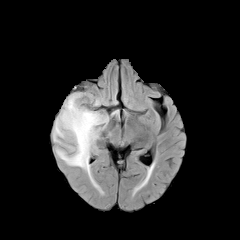
FLAIR magnetic resonance.
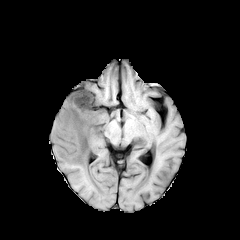
T1-weighted MR image.
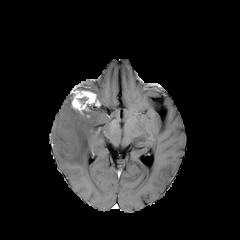
Post-contrast T1-weighted magnetic resonance.
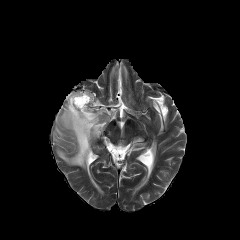
T2-weighted MR image.
Brain
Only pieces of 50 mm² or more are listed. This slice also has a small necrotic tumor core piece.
peritumoral_edema:
  - <box>53,93,108,179</box>
enhancing_tumor:
  - <box>71,90,100,114</box>